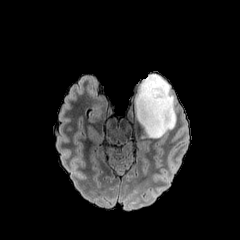
FLAIR MR image.
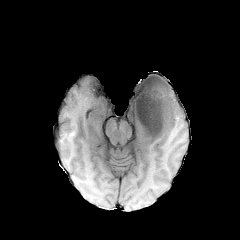
T1-weighted MR image.
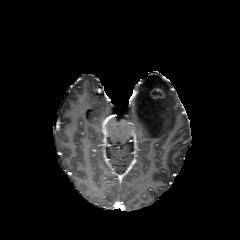
Post-contrast T1-weighted MR of the same slice.
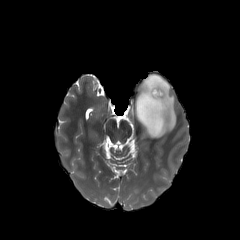
T2-weighted MR image.
Axial view.
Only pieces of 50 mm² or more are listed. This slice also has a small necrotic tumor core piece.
peritumoral edema: bounding box <bbox>134, 74, 176, 138</bbox>
enhancing tumor: bounding box <bbox>150, 88, 164, 98</bbox>